FLAIR MRI.
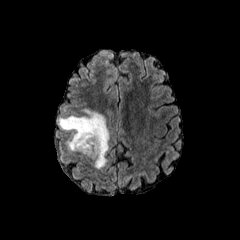
T1-weighted MR.
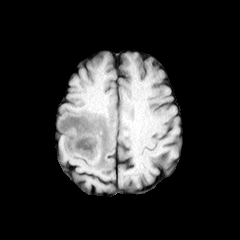
Post-contrast T1-weighted MRI.
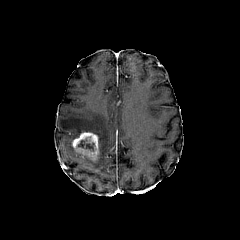
T2-weighted magnetic resonance.
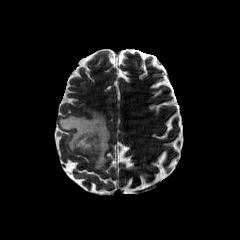
Head.
necrotic tumor core = (x1=78, y1=140, x2=94, y2=150)
peritumoral edema = (x1=58, y1=109, x2=109, y2=169)
enhancing tumor = (x1=72, y1=132, x2=99, y2=160)